Slice 77 of 155
FLAIR magnetic resonance.
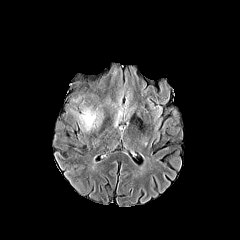
T1-weighted magnetic resonance.
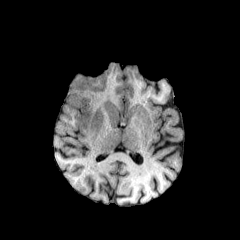
Post-contrast T1-weighted magnetic resonance.
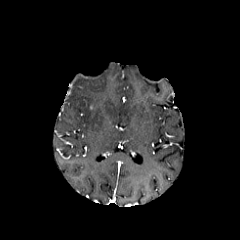
T2-weighted magnetic resonance.
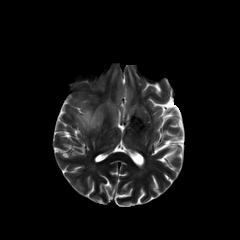
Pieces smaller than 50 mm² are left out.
peritumoral edema: bounding box <box>79,108,100,130</box>